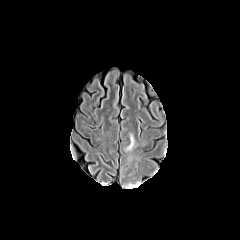
FLAIR MRI.
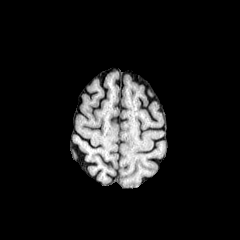
T1-weighted MRI.
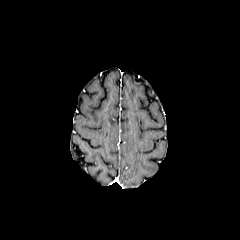
Same slice, post-contrast T1-weighted MR image.
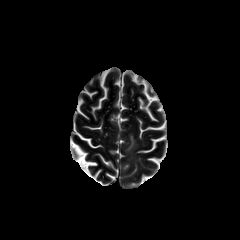
T2-weighted MR.
The peritumoral edema appears at (127,135,134,150).